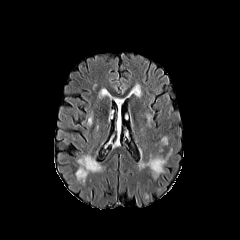
FLAIR MRI.
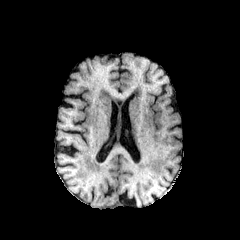
T1-weighted MR of the same slice.
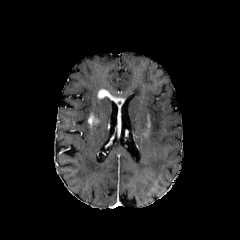
Same slice, post-contrast T1-weighted MRI.
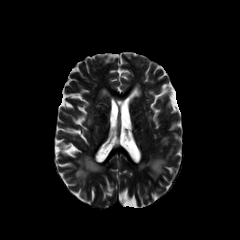
T2-weighted MRI.
Brain
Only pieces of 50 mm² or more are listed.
enhancing tumor: rect(88, 114, 97, 125); rect(98, 89, 123, 109) | peritumoral edema: rect(128, 84, 141, 97)